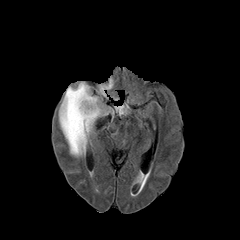
FLAIR MR.
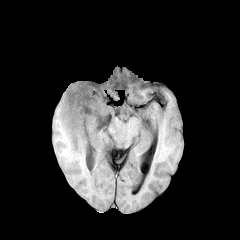
Same slice, T1-weighted MR image.
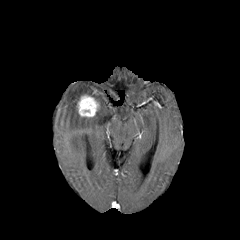
Post-contrast T1-weighted magnetic resonance of the same slice.
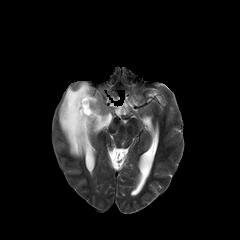
Same slice, T2-weighted MR.
Axial slice.
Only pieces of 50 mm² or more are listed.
The largest enhancing tumor region is bounded by (76,94,99,117). The 3 largest peritumoral edema regions are located at (59,82,114,157), (115,104,128,115), (98,79,112,96).